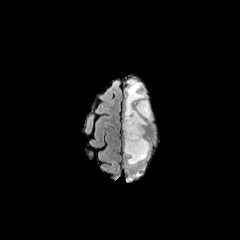
FLAIR magnetic resonance.
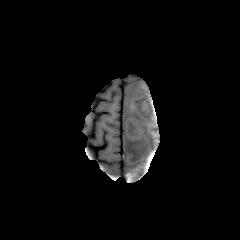
T1-weighted MR.
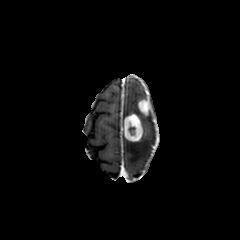
Same slice, post-contrast T1-weighted MRI.
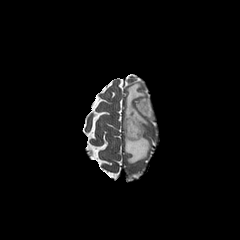
T2-weighted MR image.
Brain; Image size 240x240
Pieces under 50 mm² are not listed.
The necrotic tumor core is at <box>128,127,135,135</box>. The 2 largest peritumoral edema regions are located at <box>125,82,152,126</box>, <box>124,136,150,165</box>. 2 enhancing tumor regions appear at <box>138,98,150,115</box>, <box>124,114,142,141</box>.